Head; Image size 240x240
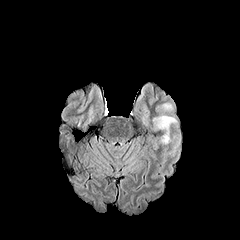
FLAIR MRI.
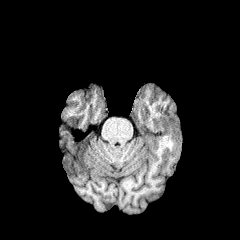
T1-weighted MR of the same slice.
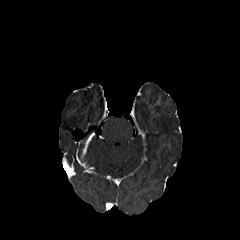
Post-contrast T1-weighted MR image.
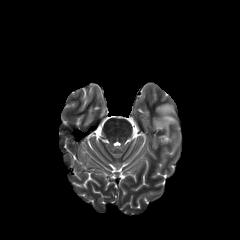
Same slice, T2-weighted MR image.
<segmentation>
  <peritumoral_edema>[x1=161, y1=102, x2=173, y2=111], [x1=153, y1=114, x2=177, y2=144]</peritumoral_edema>
</segmentation>